Brain | Slice 88 of 155 | Image covers 240 mm x 240 mm
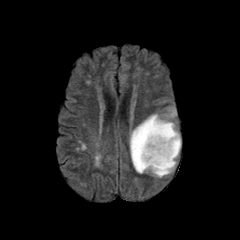
FLAIR MR image.
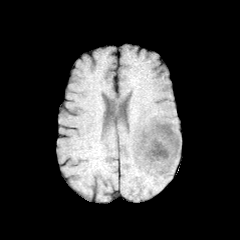
T1-weighted MRI of the same slice.
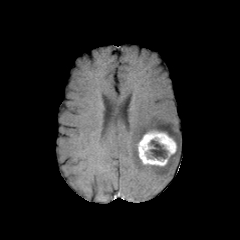
Post-contrast T1-weighted MR image.
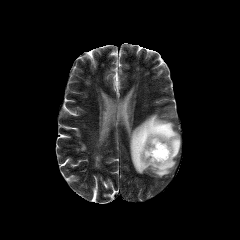
Same slice, T2-weighted MRI.
Findings:
* peritumoral edema: 129 109 180 177
* necrotic tumor core: 150 140 167 158
* enhancing tumor: 137 130 177 166